Image covers 240 mm x 240 mm | Slice index 112
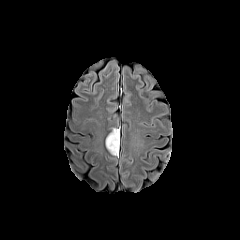
FLAIR MRI.
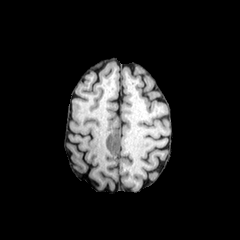
Same slice, T1-weighted MRI.
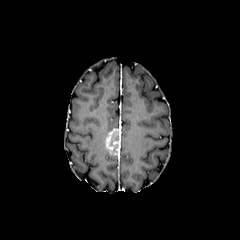
Post-contrast T1-weighted MR image of the same slice.
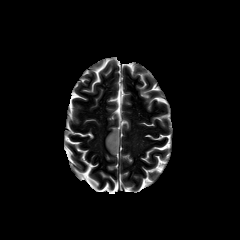
T2-weighted magnetic resonance.
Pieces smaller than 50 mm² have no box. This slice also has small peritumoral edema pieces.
<segmentation>
  <necrotic_tumor_core>bbox(108, 131, 118, 152)</necrotic_tumor_core>
  <enhancing_tumor>bbox(105, 128, 119, 150)</enhancing_tumor>
</segmentation>